240x240, Axial plane, Brain
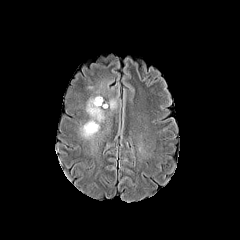
FLAIR MR.
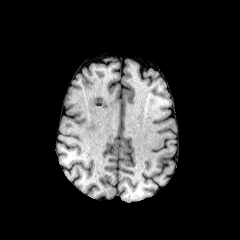
T1-weighted MR image of the same slice.
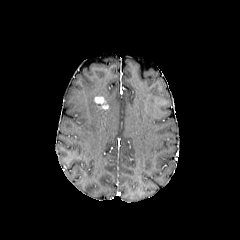
Post-contrast T1-weighted MRI.
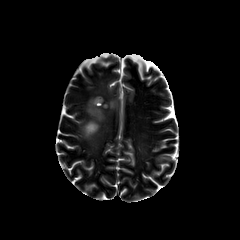
T2-weighted MR image.
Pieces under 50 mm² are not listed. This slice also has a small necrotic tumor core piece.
enhancing tumor: bounding box x1=94 y1=96 x2=108 y2=108
peritumoral edema: bounding box x1=104 y1=99 x2=116 y2=109, x1=81 y1=97 x2=104 y2=138